Image size 240x240
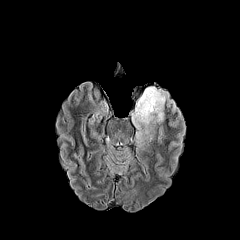
FLAIR MRI.
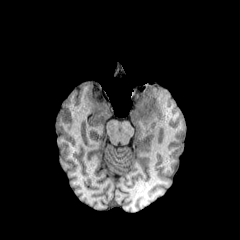
Same slice, T1-weighted MR image.
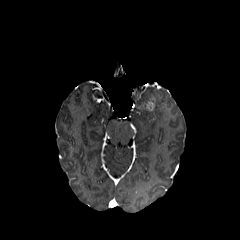
Post-contrast T1-weighted MR.
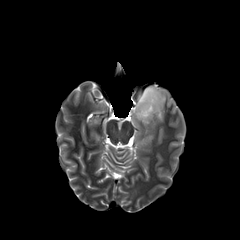
T2-weighted MR image.
enhancing tumor: bounding box region(144, 98, 154, 111)
peritumoral edema: bounding box region(132, 87, 168, 141)